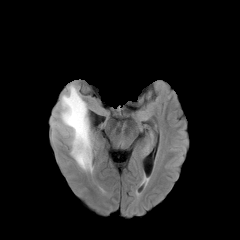
FLAIR MRI.
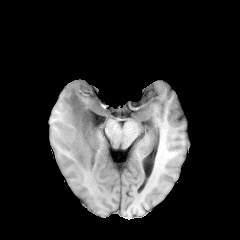
T1-weighted magnetic resonance of the same slice.
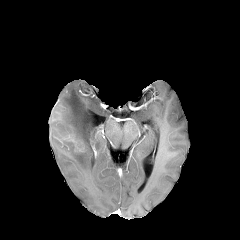
Same slice, post-contrast T1-weighted MR image.
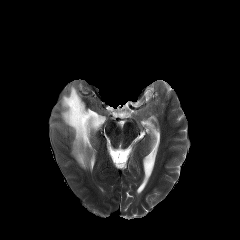
T2-weighted MR of the same slice.
Axial view
The enhancing tumor is at rect(70, 139, 83, 151). The peritumoral edema is at rect(60, 84, 93, 172).